FLAIR magnetic resonance.
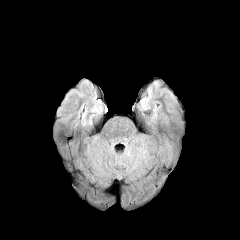
T1-weighted MR.
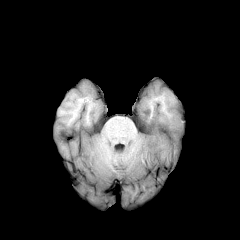
Post-contrast T1-weighted MR image.
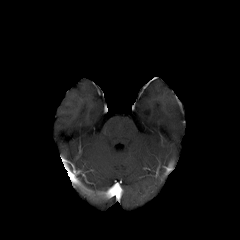
T2-weighted MR image.
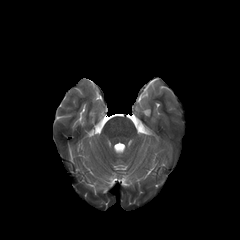
Brain.
The peritumoral edema lies within left=140, top=97, right=148, bottom=109.